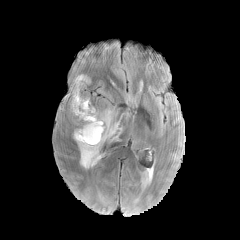
FLAIR MR.
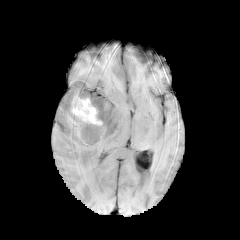
Same slice, T1-weighted magnetic resonance.
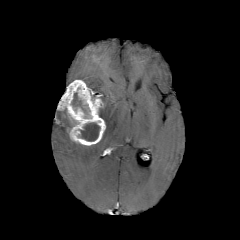
Same slice, post-contrast T1-weighted MR image.
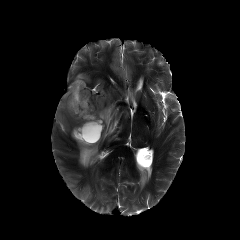
Same slice, T2-weighted MR image.
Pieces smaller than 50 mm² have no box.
enhancing_tumor:
  - box(58, 80, 105, 145)
necrotic_tumor_core:
  - box(79, 122, 100, 141)
  - box(72, 93, 89, 114)
peritumoral_edema:
  - box(77, 107, 121, 168)
  - box(74, 74, 87, 82)